Image size 240x240 | Brain | Slice 71/155
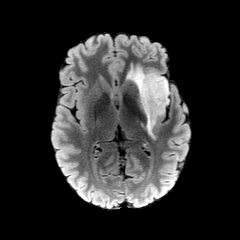
FLAIR MR.
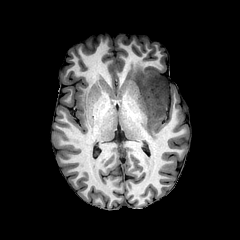
T1-weighted MR image.
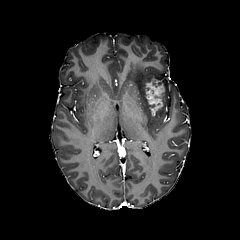
Same slice, post-contrast T1-weighted magnetic resonance.
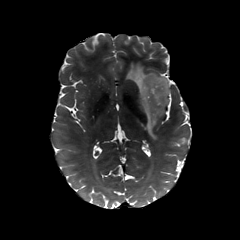
T2-weighted MR of the same slice.
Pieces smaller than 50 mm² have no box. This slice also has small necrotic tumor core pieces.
- enhancing tumor: (144,78,164,116)
- peritumoral edema: (126,65,168,137)